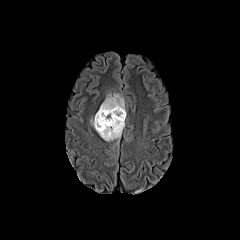
FLAIR magnetic resonance.
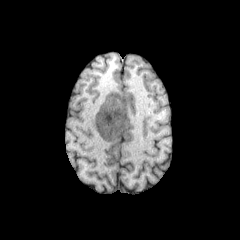
Same slice, T1-weighted MR image.
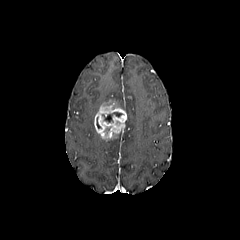
Post-contrast T1-weighted MRI.
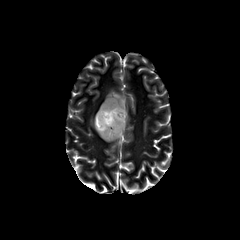
T2-weighted MR.
Brain | Axial plane
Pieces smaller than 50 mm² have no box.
peritumoral edema: bounding box x1=104 y1=93 x2=125 y2=110
necrotic tumor core: bounding box x1=104 y1=114 x2=112 y2=122
enhancing tumor: bounding box x1=94 y1=99 x2=126 y2=140